Brain
FLAIR magnetic resonance.
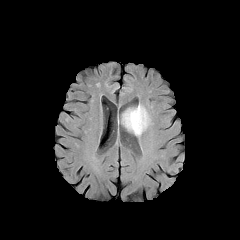
T1-weighted MR.
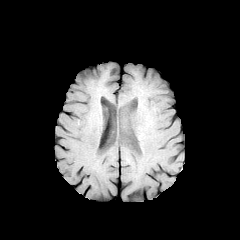
Post-contrast T1-weighted MR image.
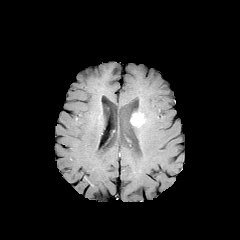
T2-weighted magnetic resonance.
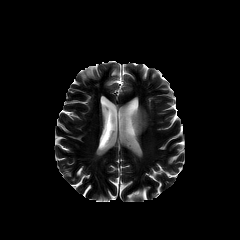
peritumoral edema — region(121, 105, 148, 135)
enhancing tumor — region(130, 113, 144, 126)